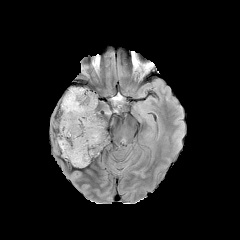
FLAIR MR image.
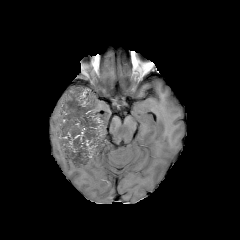
T1-weighted MR.
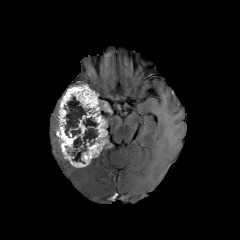
Post-contrast T1-weighted magnetic resonance.
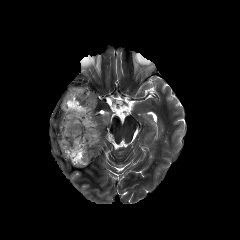
T2-weighted MRI.
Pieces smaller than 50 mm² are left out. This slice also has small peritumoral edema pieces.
Annotated regions:
- necrotic tumor core: region(64, 96, 90, 136); region(71, 117, 98, 163)
- enhancing tumor: region(57, 85, 107, 167); region(101, 101, 112, 113)